FLAIR MR.
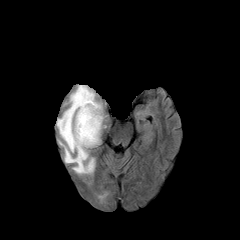
T1-weighted MR.
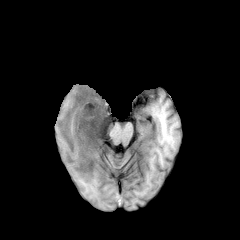
Post-contrast T1-weighted MR.
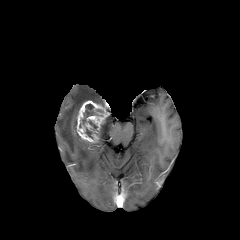
T2-weighted magnetic resonance.
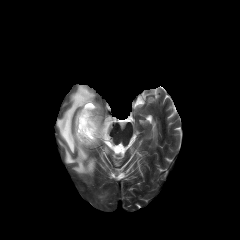
Head | Axial plane | Image size 240x240
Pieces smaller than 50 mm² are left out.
enhancing tumor at left=76, top=100, right=107, bottom=143
peritumoral edema at left=56, top=85, right=101, bottom=174
necrotic tumor core at left=82, top=104, right=93, bottom=123